Axial plane | Image size 240x240 | Head
FLAIR MRI.
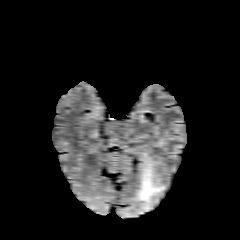
T1-weighted MR.
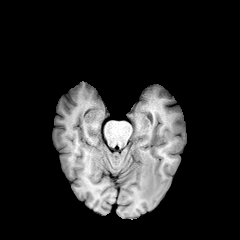
Post-contrast T1-weighted MR.
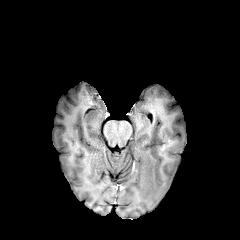
T2-weighted MRI.
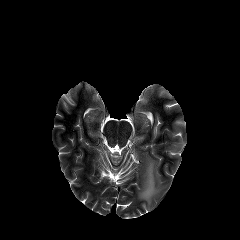
The peritumoral edema is bounded by (left=135, top=154, right=165, bottom=210).